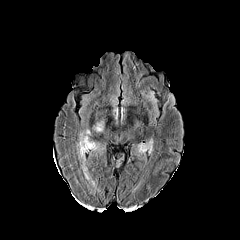
FLAIR magnetic resonance.
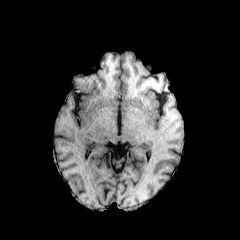
T1-weighted MR.
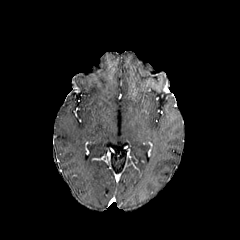
Post-contrast T1-weighted MRI of the same slice.
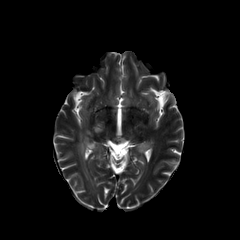
Same slice, T2-weighted MR image.
Head, Axial plane
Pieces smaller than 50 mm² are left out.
peritumoral edema: bounding box box=[138, 143, 148, 153]; box=[77, 130, 98, 160]